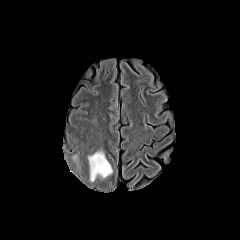
FLAIR magnetic resonance.
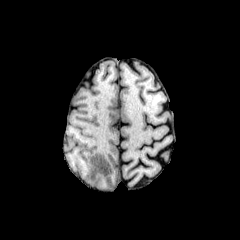
T1-weighted magnetic resonance.
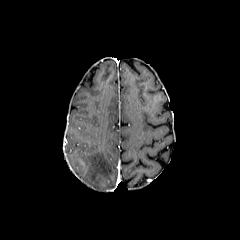
Post-contrast T1-weighted magnetic resonance of the same slice.
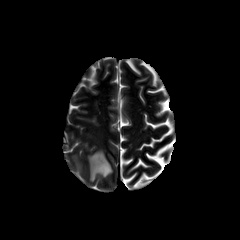
T2-weighted MRI of the same slice.
Axial view; 240x240
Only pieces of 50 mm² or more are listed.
Findings:
* peritumoral edema: bbox=[87, 151, 112, 181]